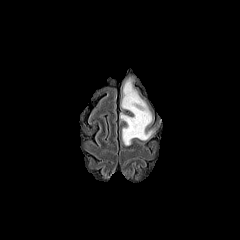
FLAIR MR.
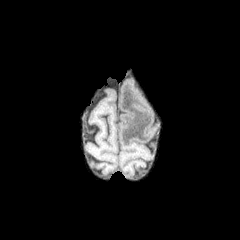
Same slice, T1-weighted magnetic resonance.
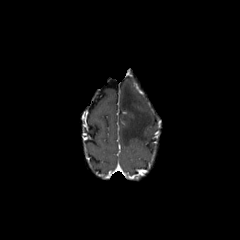
Post-contrast T1-weighted magnetic resonance.
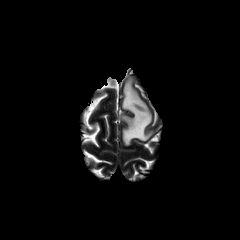
T2-weighted magnetic resonance.
Axial plane.
peritumoral_edema:
  - (left=120, top=76, right=155, bottom=145)